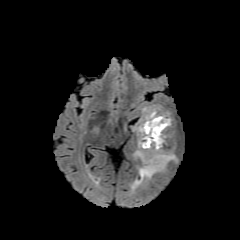
FLAIR MR.
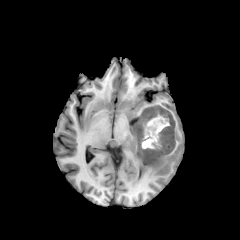
T1-weighted MR.
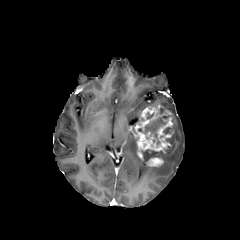
Post-contrast T1-weighted magnetic resonance of the same slice.
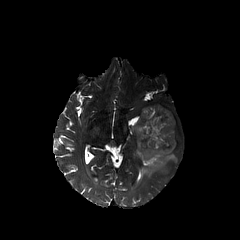
Same slice, T2-weighted MR.
Head
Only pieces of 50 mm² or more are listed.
peritumoral edema = (137, 148, 177, 184)
enhancing tumor = (133, 105, 174, 166)
necrotic tumor core = (144, 115, 169, 144), (163, 127, 172, 133), (142, 149, 162, 161)